FLAIR MR image.
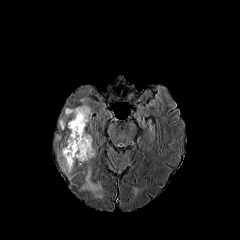
T1-weighted MR.
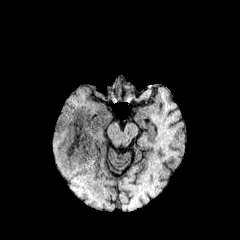
Post-contrast T1-weighted MRI.
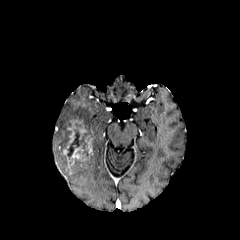
T2-weighted magnetic resonance.
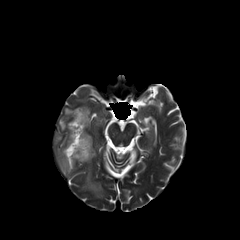
Brain
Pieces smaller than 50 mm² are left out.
<segmentation>
  <necrotic_tumor_core><bbox>67, 129, 86, 159</bbox></necrotic_tumor_core>
  <peritumoral_edema><bbox>82, 168, 102, 197</bbox>, <bbox>59, 130, 70, 173</bbox>, <bbox>59, 117, 71, 129</bbox>, <bbox>65, 105, 91, 128</bbox></peritumoral_edema>
  <enhancing_tumor><bbox>63, 119, 92, 172</bbox></enhancing_tumor>
</segmentation>